FLAIR MR.
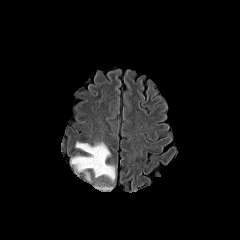
T1-weighted MR.
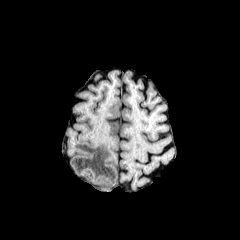
Post-contrast T1-weighted magnetic resonance.
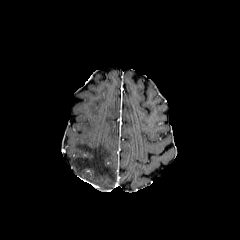
T2-weighted MR.
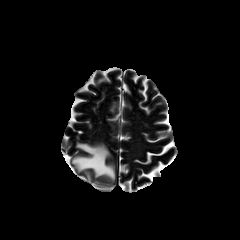
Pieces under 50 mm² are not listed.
The largest peritumoral edema region is located at box(71, 142, 115, 182).